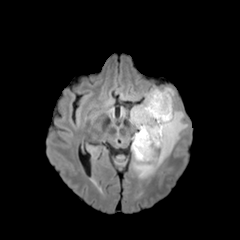
FLAIR MR image.
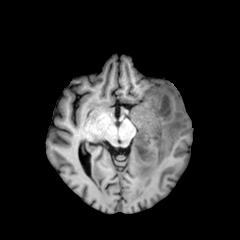
Same slice, T1-weighted MRI.
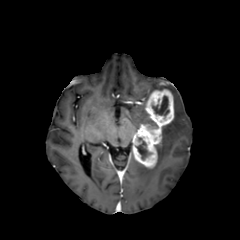
Post-contrast T1-weighted magnetic resonance of the same slice.
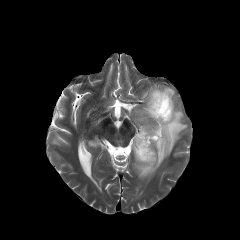
Same slice, T2-weighted MR image.
Brain.
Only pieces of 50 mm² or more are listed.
necrotic tumor core: 136 141 148 159, 152 96 169 115 | peritumoral edema: 133 87 187 178, 131 88 162 129 | enhancing tumor: 132 89 174 168